FLAIR magnetic resonance.
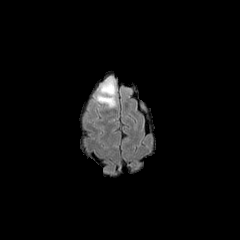
T1-weighted MR image.
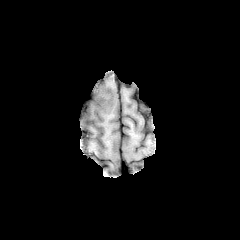
Post-contrast T1-weighted MR image.
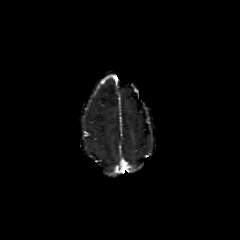
T2-weighted magnetic resonance.
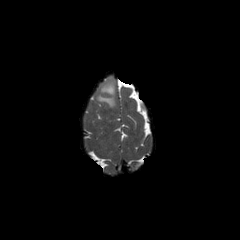
Axial view
peritumoral edema: 96, 78, 115, 107